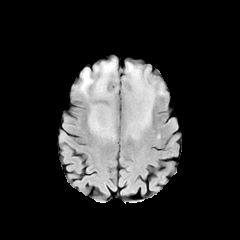
FLAIR magnetic resonance.
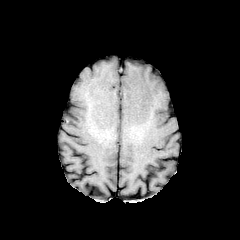
Same slice, T1-weighted MRI.
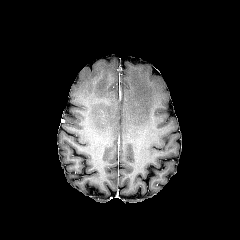
Same slice, post-contrast T1-weighted MR image.
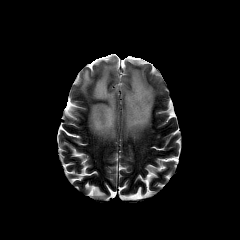
T2-weighted MR.
Image size 240x240. Brain.
2 peritumoral edema regions are located at {"x1": 123, "y1": 62, "x2": 164, "y2": 136}, {"x1": 79, "y1": 58, "x2": 117, "y2": 137}.